Head
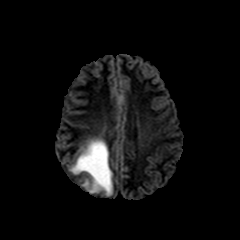
FLAIR MRI.
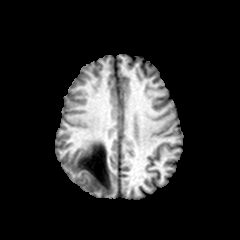
T1-weighted MR.
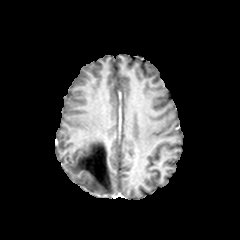
Same slice, post-contrast T1-weighted MRI.
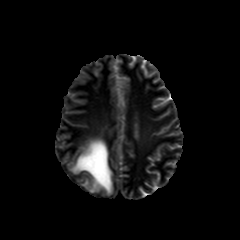
Same slice, T2-weighted magnetic resonance.
The peritumoral edema lies within left=69, top=138, right=113, bottom=195.